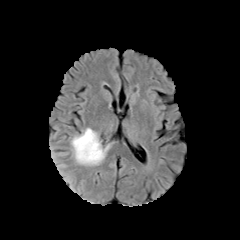
FLAIR MRI.
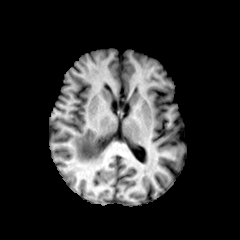
T1-weighted MRI of the same slice.
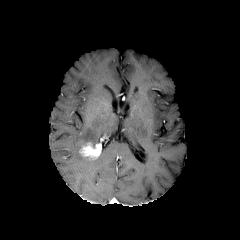
Same slice, post-contrast T1-weighted MR image.
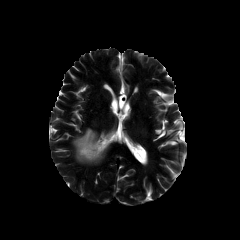
T2-weighted MR image.
240x240 px; Head
The enhancing tumor is bounded by l=79, t=141, r=101, b=159. The peritumoral edema appears at l=71, t=128, r=109, b=164.